Slice 130 of 155; Head; 240x240 px
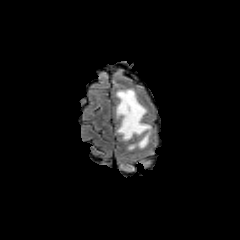
FLAIR MR.
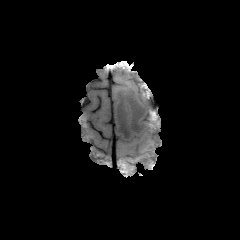
T1-weighted magnetic resonance.
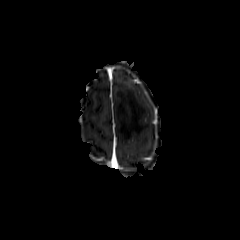
Post-contrast T1-weighted MR of the same slice.
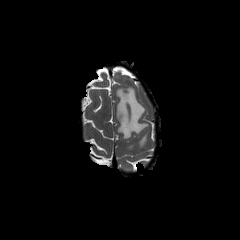
T2-weighted MR image of the same slice.
Segmented structures:
• peritumoral edema: (x1=116, y1=88, x2=150, y2=149)